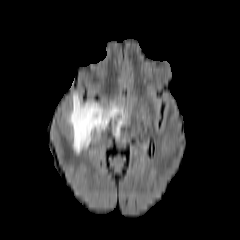
FLAIR magnetic resonance.
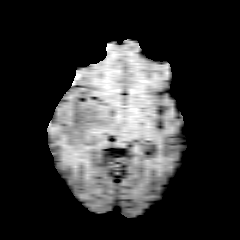
T1-weighted MR.
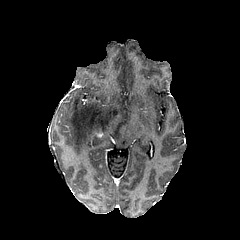
Same slice, post-contrast T1-weighted MR.
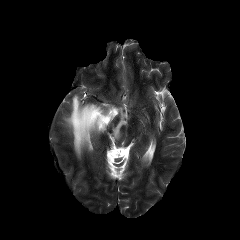
Same slice, T2-weighted magnetic resonance.
{"peritumoral_edema": ["<bbox>66, 93, 127, 154</bbox>"]}